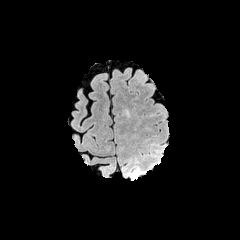
FLAIR magnetic resonance.
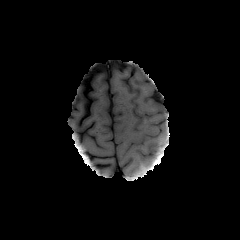
T1-weighted MR.
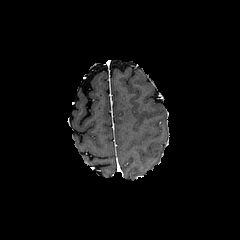
Post-contrast T1-weighted MR.
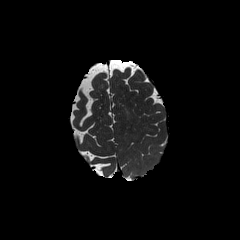
T2-weighted MR of the same slice.
The peritumoral edema appears at (left=125, top=169, right=138, bottom=175).